Brain, Slice 31/155
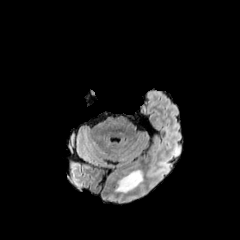
FLAIR MR image.
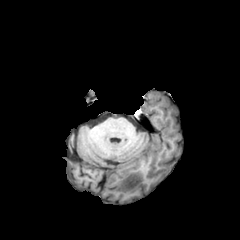
Same slice, T1-weighted MRI.
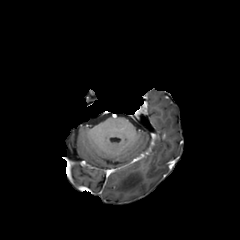
Post-contrast T1-weighted magnetic resonance of the same slice.
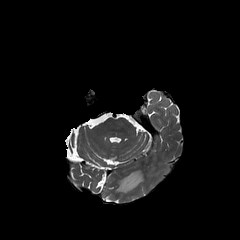
T2-weighted MR image.
The peritumoral edema lies within {"x1": 115, "y1": 169, "x2": 143, "y2": 192}.